FLAIR magnetic resonance.
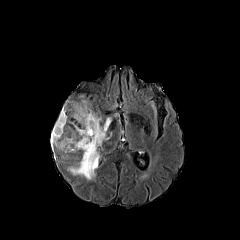
T1-weighted magnetic resonance.
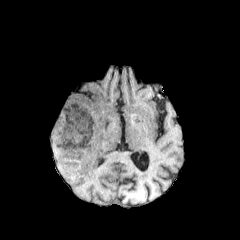
Post-contrast T1-weighted MR image.
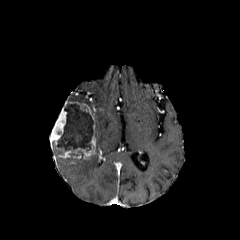
T2-weighted magnetic resonance.
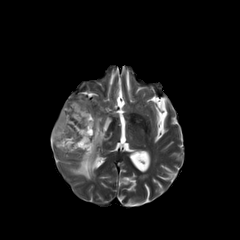
Axial slice, Image size 240x240, Head
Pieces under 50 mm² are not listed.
The largest peritumoral edema region appears at box(70, 115, 111, 179). The largest necrotic tumor core region lies within box(57, 103, 94, 151). The largest enhancing tumor region is at box(50, 100, 95, 159).